FLAIR MR.
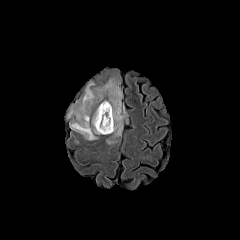
T1-weighted MR.
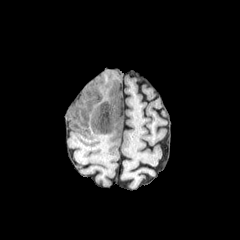
Post-contrast T1-weighted magnetic resonance.
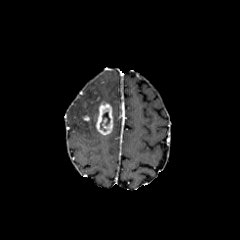
T2-weighted MRI.
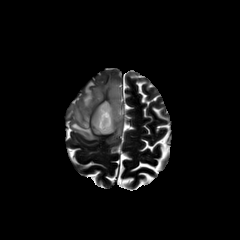
Axial slice
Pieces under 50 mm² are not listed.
necrotic_tumor_core:
  - (left=103, top=112, right=109, bottom=125)
enhancing_tumor:
  - (left=94, top=101, right=113, bottom=135)
peritumoral_edema:
  - (left=66, top=78, right=123, bottom=144)